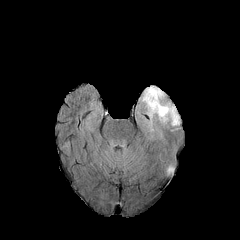
FLAIR magnetic resonance.
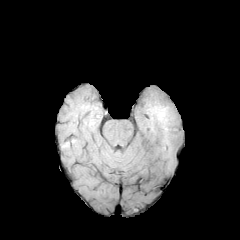
Same slice, T1-weighted MR.
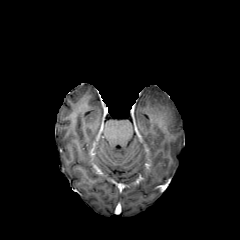
Post-contrast T1-weighted magnetic resonance.
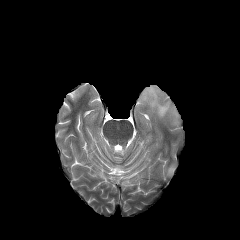
T2-weighted MR image of the same slice.
Axial view
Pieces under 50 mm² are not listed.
The largest peritumoral edema region is bounded by bbox(142, 86, 179, 125).